FLAIR magnetic resonance.
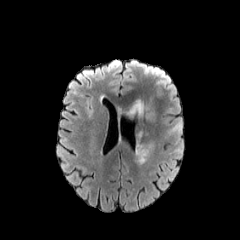
T1-weighted MR.
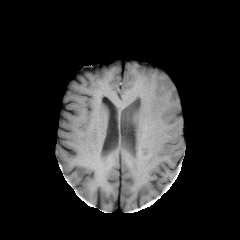
Post-contrast T1-weighted MR.
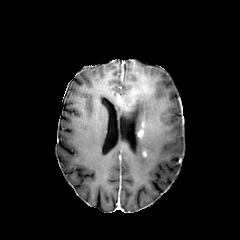
T2-weighted MRI.
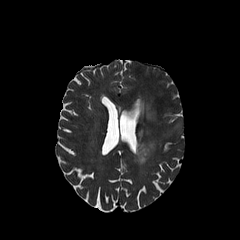
Axial plane. Head.
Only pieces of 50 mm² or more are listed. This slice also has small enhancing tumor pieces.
The 2 largest peritumoral edema regions are located at box(136, 144, 153, 163); box(137, 103, 144, 117).